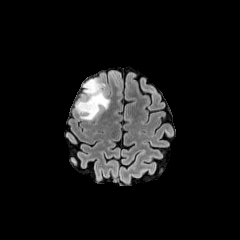
FLAIR MR image.
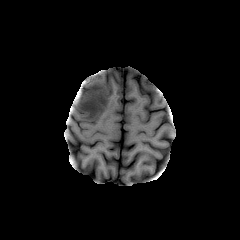
Same slice, T1-weighted MRI.
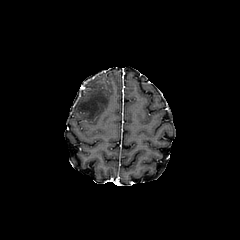
Post-contrast T1-weighted MRI.
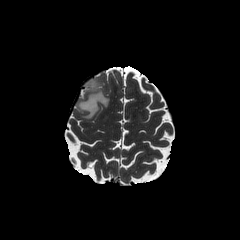
T2-weighted MR image.
Brain.
The peritumoral edema is located at box(75, 78, 109, 120).